FLAIR MR image.
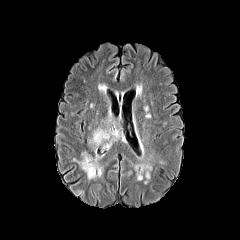
T1-weighted MRI.
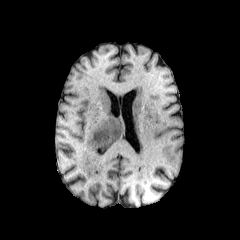
Post-contrast T1-weighted magnetic resonance.
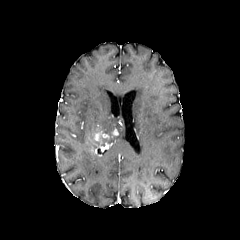
T2-weighted MRI.
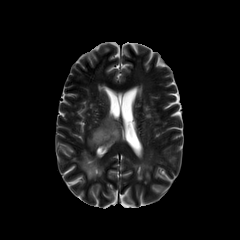
240x240. Head.
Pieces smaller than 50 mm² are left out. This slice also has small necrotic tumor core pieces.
The 2 largest peritumoral edema regions are bounded by <bbox>97, 116, 121, 143</bbox>, <bbox>77, 151, 103, 179</bbox>. The largest enhancing tumor region is bounded by <bbox>88, 128, 118, 145</bbox>.